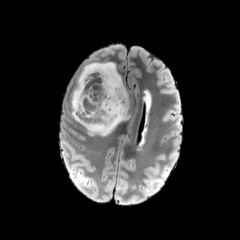
FLAIR magnetic resonance.
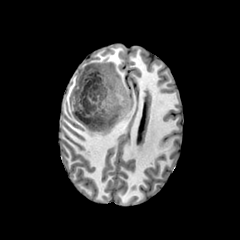
T1-weighted magnetic resonance of the same slice.
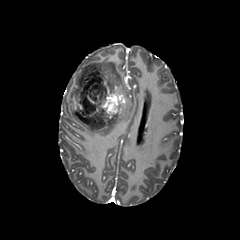
Post-contrast T1-weighted MR image of the same slice.
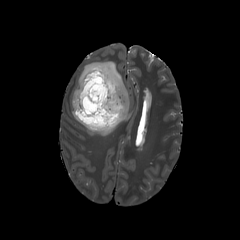
T2-weighted MR image of the same slice.
Head
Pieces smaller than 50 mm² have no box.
{
  "necrotic_tumor_core": [
    "bbox(75, 72, 106, 124)"
  ],
  "enhancing_tumor": [
    "bbox(89, 73, 127, 124)",
    "bbox(72, 71, 100, 118)"
  ],
  "peritumoral_edema": [
    "bbox(71, 62, 129, 136)"
  ]
}